FLAIR MRI.
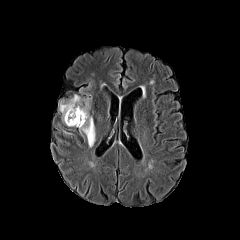
T1-weighted MRI.
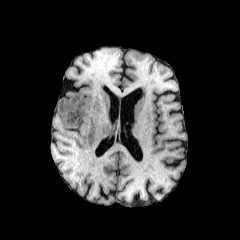
Post-contrast T1-weighted MR.
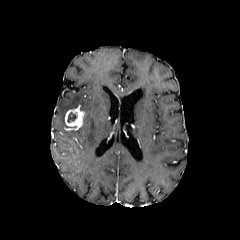
T2-weighted magnetic resonance.
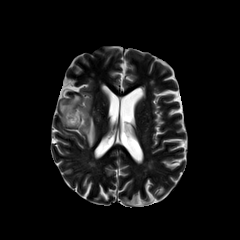
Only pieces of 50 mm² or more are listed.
enhancing tumor: [65,107,84,128] | peritumoral edema: [59,94,95,147] | necrotic tumor core: [67,112,76,122]